Axial slice, 240x240, Image covers 240 mm x 240 mm, Brain
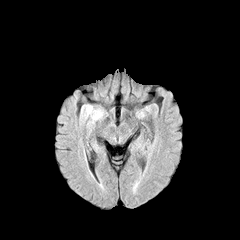
FLAIR MR.
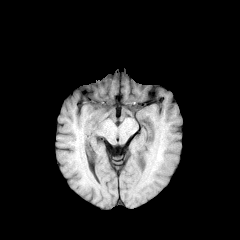
Same slice, T1-weighted MR image.
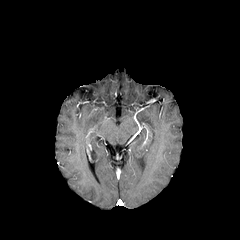
Post-contrast T1-weighted MR.
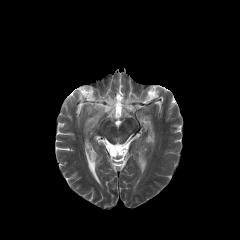
T2-weighted MR of the same slice.
The peritumoral edema is bounded by region(80, 104, 103, 122).